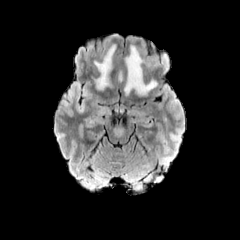
FLAIR MRI.
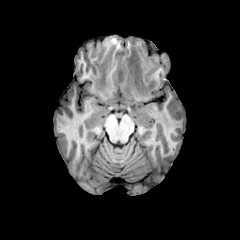
Same slice, T1-weighted magnetic resonance.
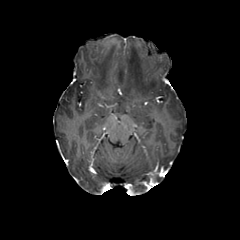
Post-contrast T1-weighted MR image.
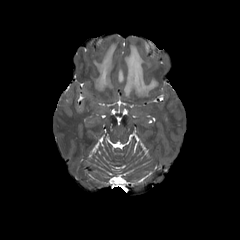
T2-weighted MRI of the same slice.
Brain
peritumoral edema — (118, 45, 157, 96), (68, 82, 92, 112), (94, 45, 115, 90)